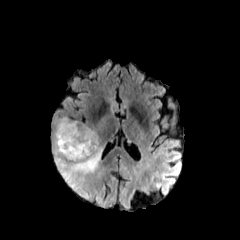
FLAIR MR.
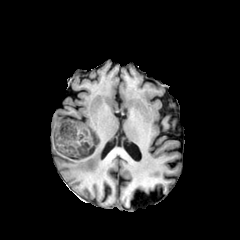
T1-weighted MR image.
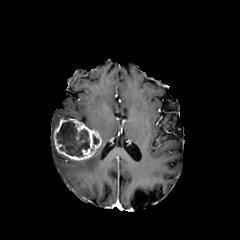
Post-contrast T1-weighted MR of the same slice.
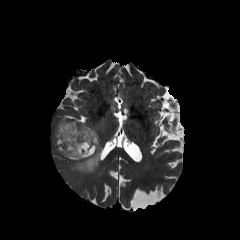
Same slice, T2-weighted MR image.
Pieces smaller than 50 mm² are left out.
Segmented structures:
- peritumoral edema: 51, 116, 103, 200; 89, 114, 108, 130
- enhancing tumor: 53, 117, 101, 160
- necrotic tumor core: 56, 121, 89, 157